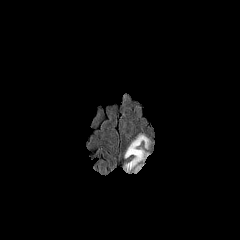
FLAIR MR.
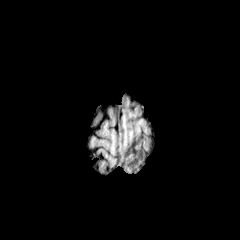
T1-weighted MRI.
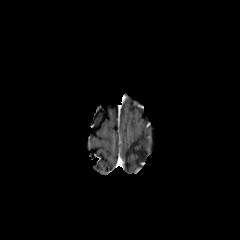
Same slice, post-contrast T1-weighted MR.
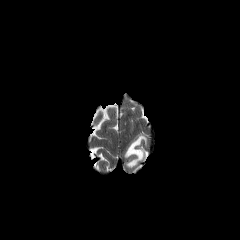
T2-weighted magnetic resonance of the same slice.
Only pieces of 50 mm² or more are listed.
Segmented structures:
• peritumoral edema: [x1=123, y1=133, x2=150, y2=172]